FLAIR MRI.
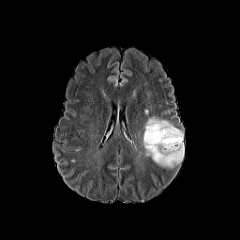
T1-weighted MR image.
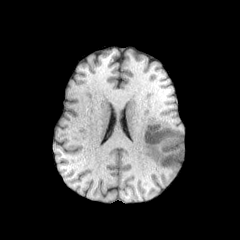
Post-contrast T1-weighted magnetic resonance.
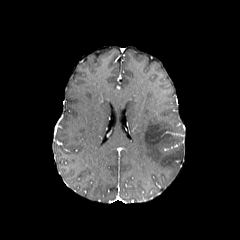
T2-weighted magnetic resonance.
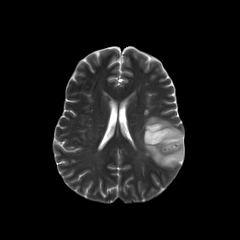
The peritumoral edema is at box=[143, 117, 184, 168].